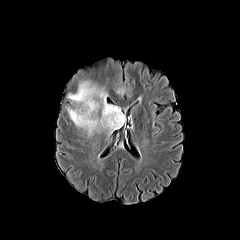
FLAIR MR image.
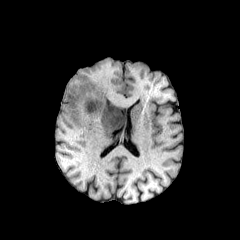
T1-weighted MRI of the same slice.
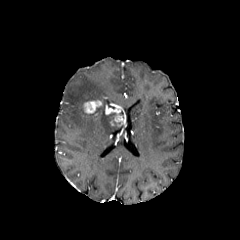
Post-contrast T1-weighted magnetic resonance of the same slice.
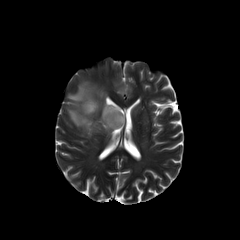
T2-weighted magnetic resonance.
Head | Axial plane
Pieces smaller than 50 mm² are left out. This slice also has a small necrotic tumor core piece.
Findings:
* peritumoral edema: 67, 71, 120, 135
* enhancing tumor: 83, 100, 102, 114; 105, 105, 125, 126